Head | Slice index 53 | 240x240
FLAIR MR.
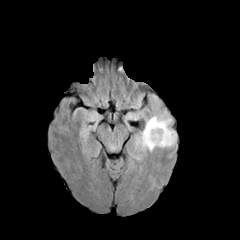
T1-weighted MRI.
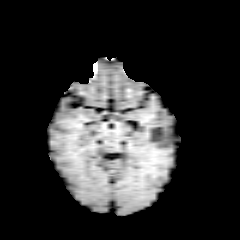
Post-contrast T1-weighted MR.
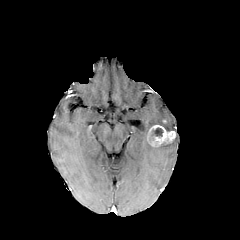
T2-weighted magnetic resonance.
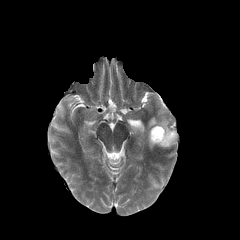
<segmentation>
  <necrotic_tumor_core>[151, 128, 163, 136]</necrotic_tumor_core>
  <enhancing_tumor>[147, 125, 175, 145]</enhancing_tumor>
  <peritumoral_edema>[138, 116, 176, 150]</peritumoral_edema>
</segmentation>